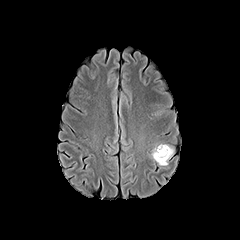
FLAIR MR image.
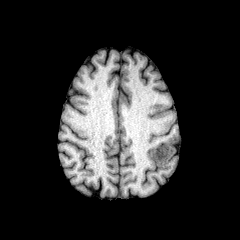
T1-weighted MR image.
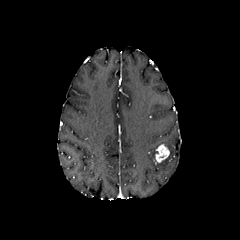
Post-contrast T1-weighted MRI.
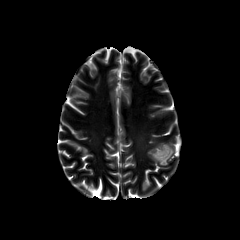
T2-weighted MR image.
Brain
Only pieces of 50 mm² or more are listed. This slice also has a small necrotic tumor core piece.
<segmentation>
  <enhancing_tumor>155:144:169:162</enhancing_tumor>
  <peritumoral_edema>159:145:173:165</peritumoral_edema>
</segmentation>